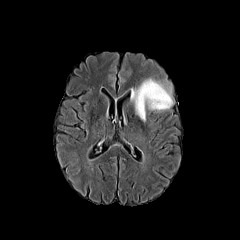
FLAIR MRI.
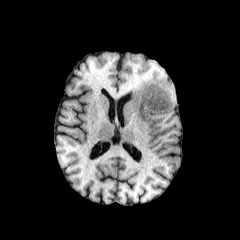
T1-weighted MR image.
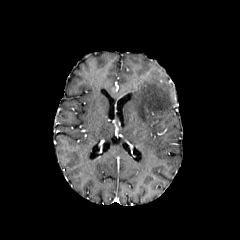
Post-contrast T1-weighted MR of the same slice.
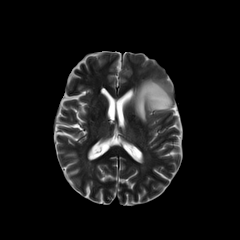
T2-weighted magnetic resonance.
240x240.
The peritumoral edema is located at 133:78:173:121.